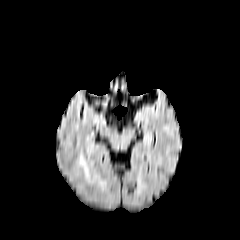
FLAIR magnetic resonance.
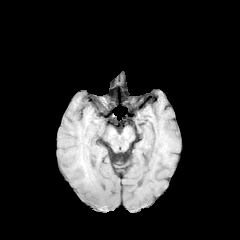
T1-weighted MR.
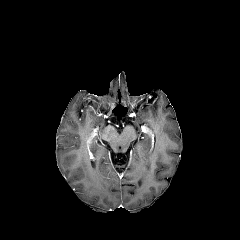
Post-contrast T1-weighted MR image.
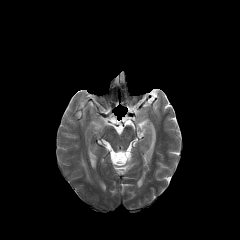
T2-weighted MR.
Brain. Axial view. 240x240 px.
peritumoral edema: x1=80, y1=159, x2=88, y2=177